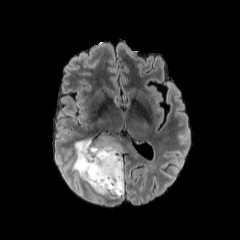
FLAIR magnetic resonance.
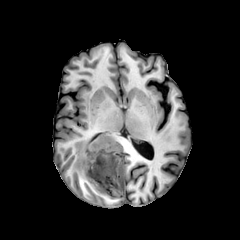
T1-weighted MR.
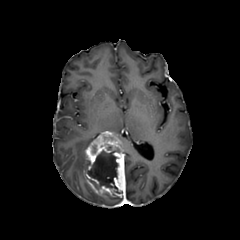
Same slice, post-contrast T1-weighted MRI.
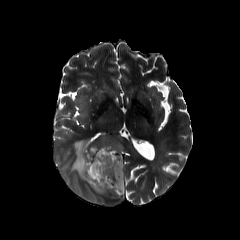
T2-weighted MRI.
Brain
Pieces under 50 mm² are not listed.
Annotated regions:
- necrotic tumor core: l=87, t=148, r=122, b=193
- peritumoral edema: l=72, t=139, r=92, b=181; l=92, t=192, r=99, b=201
- enhancing tumor: l=84, t=132, r=124, b=197